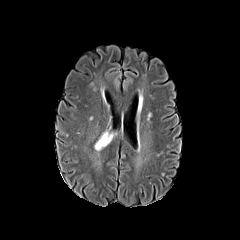
FLAIR MR image.
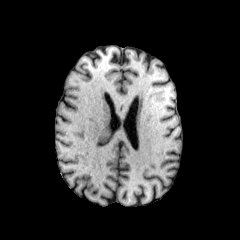
Same slice, T1-weighted MRI.
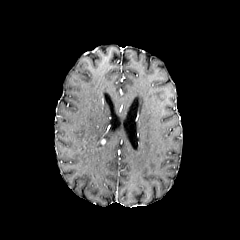
Post-contrast T1-weighted MR image of the same slice.
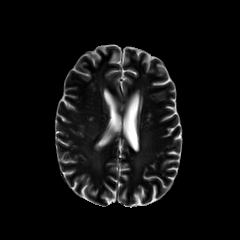
T2-weighted MR image of the same slice.
Axial plane
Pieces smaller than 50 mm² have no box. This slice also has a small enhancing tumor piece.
The peritumoral edema is bounded by [95, 133, 113, 151].